Axial view; Head
FLAIR MRI.
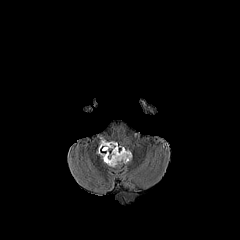
T1-weighted magnetic resonance.
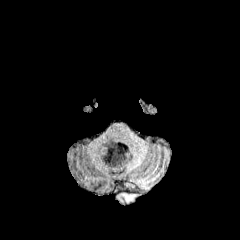
Post-contrast T1-weighted MR.
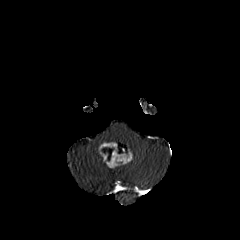
T2-weighted MRI.
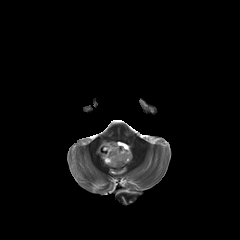
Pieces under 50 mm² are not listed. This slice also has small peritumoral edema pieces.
{"enhancing_tumor": ["(99,142,132,167)"], "necrotic_tumor_core": ["(101,147,113,160)"]}